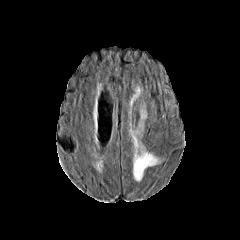
FLAIR magnetic resonance.
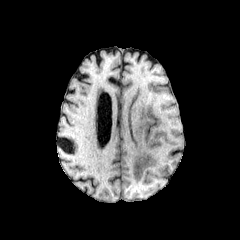
T1-weighted magnetic resonance of the same slice.
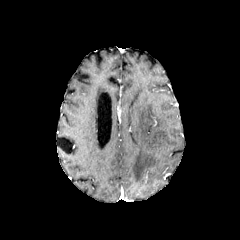
Post-contrast T1-weighted magnetic resonance.
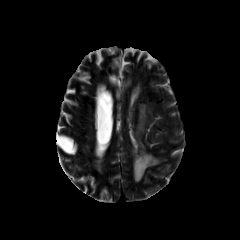
T2-weighted MR image of the same slice.
Head
peritumoral_edema:
  - x1=139 y1=108 x2=146 y2=127
  - x1=132 y1=136 x2=159 y2=181